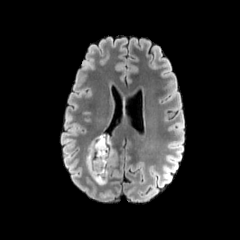
FLAIR MR image.
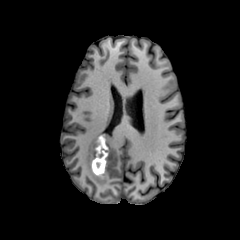
Same slice, T1-weighted MR image.
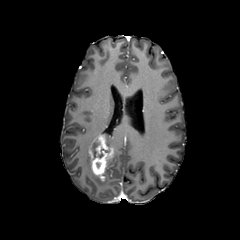
Post-contrast T1-weighted MRI of the same slice.
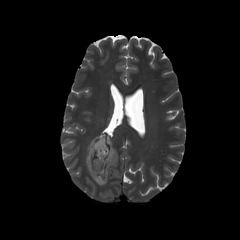
T2-weighted MRI.
Head
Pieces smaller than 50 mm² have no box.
necrotic tumor core: <bbox>93, 141, 104, 168</bbox> | peritumoral edema: <bbox>104, 134, 113, 145</bbox>, <bbox>86, 149, 117, 185</bbox> | enhancing tumor: <bbox>88, 134, 114, 180</bbox>